Slice 66 of 155. Axial slice.
FLAIR MR.
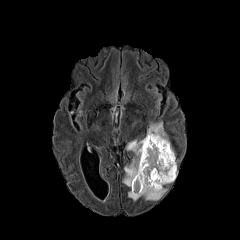
T1-weighted MR image.
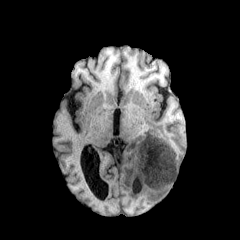
Post-contrast T1-weighted MR.
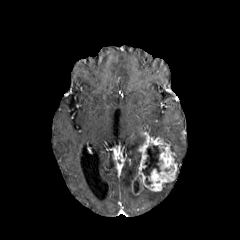
T2-weighted magnetic resonance.
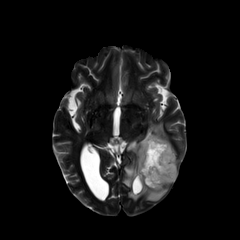
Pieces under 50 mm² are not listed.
The 2 largest necrotic tumor core regions are bounded by bbox=[134, 181, 138, 193]; bbox=[142, 145, 160, 184]. The enhancing tumor is at bbox=[132, 134, 177, 194]. The 2 largest peritumoral edema regions are bounded by bbox=[122, 138, 167, 201]; bbox=[147, 121, 174, 152].